FLAIR MR image.
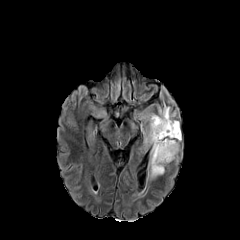
T1-weighted MR.
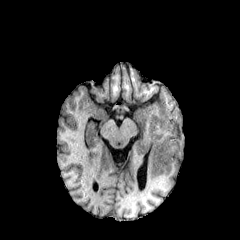
Post-contrast T1-weighted MR image.
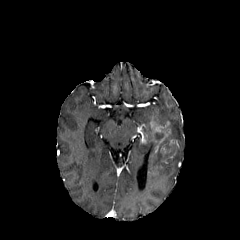
T2-weighted MRI.
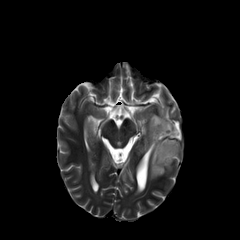
Image size 240x240, Axial slice
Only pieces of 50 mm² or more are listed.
- necrotic tumor core: [151, 129, 176, 173]
- peritumoral edema: [141, 106, 180, 140], [145, 126, 155, 149], [149, 145, 178, 178]
- enhancing tumor: [150, 119, 169, 143]